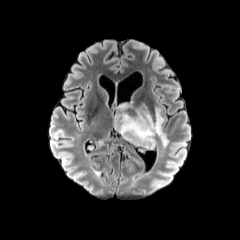
FLAIR MR image.
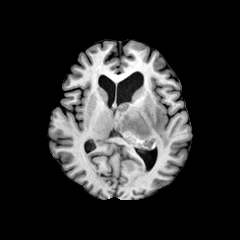
T1-weighted MRI.
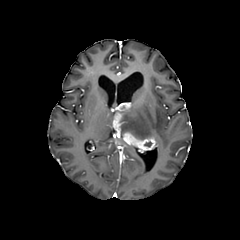
Same slice, post-contrast T1-weighted magnetic resonance.
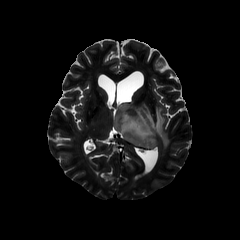
T2-weighted MRI.
Axial slice.
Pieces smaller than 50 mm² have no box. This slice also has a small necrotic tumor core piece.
{
  "peritumoral_edema": [
    "(left=120, top=104, right=168, bottom=147)"
  ],
  "enhancing_tumor": [
    "(left=123, top=132, right=155, bottom=151)",
    "(left=113, top=102, right=131, bottom=132)"
  ]
}